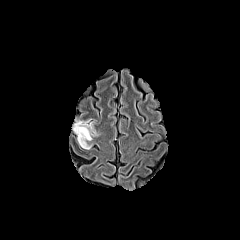
FLAIR magnetic resonance.
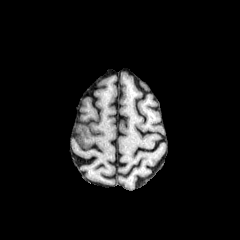
T1-weighted MRI.
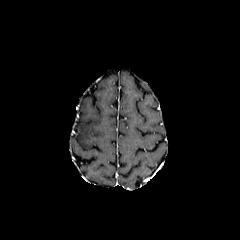
Post-contrast T1-weighted MR.
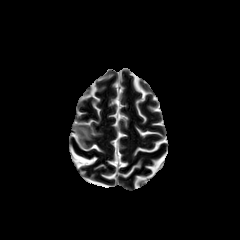
T2-weighted MRI.
Brain, 240x240 px, Axial view
Findings:
* peritumoral edema: {"x1": 74, "y1": 120, "x2": 96, "y2": 149}